Image size 240x240; Axial plane
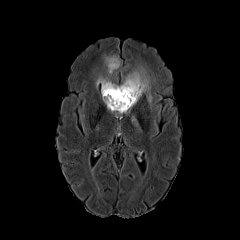
FLAIR MRI.
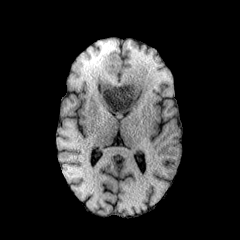
Same slice, T1-weighted magnetic resonance.
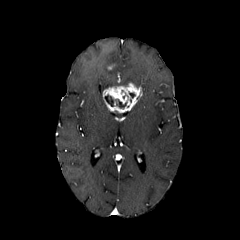
Post-contrast T1-weighted MRI.
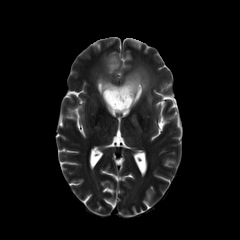
T2-weighted MR image.
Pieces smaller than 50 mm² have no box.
enhancing tumor at region(102, 82, 142, 113)
necrotic tumor core at region(105, 95, 113, 106)
peritumoral edema at region(121, 67, 152, 103); region(105, 55, 120, 74); region(96, 76, 118, 93)